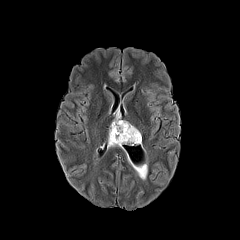
FLAIR MRI.
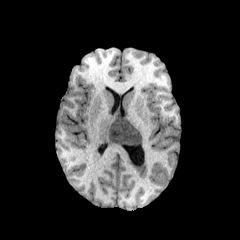
Same slice, T1-weighted magnetic resonance.
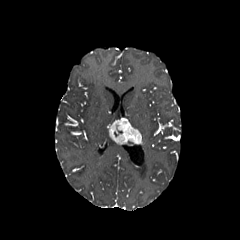
Post-contrast T1-weighted MR of the same slice.
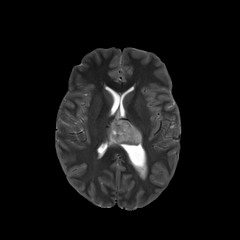
T2-weighted MR of the same slice.
Axial view
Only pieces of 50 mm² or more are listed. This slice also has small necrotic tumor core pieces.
* enhancing tumor: left=108, top=119, right=141, bottom=144
* peritumoral edema: left=108, top=134, right=121, bottom=147